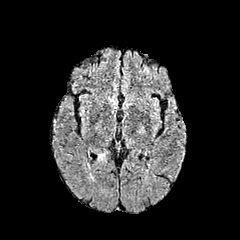
FLAIR MR image.
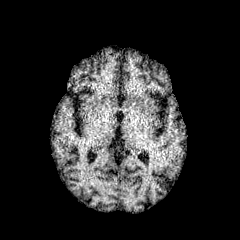
T1-weighted MRI of the same slice.
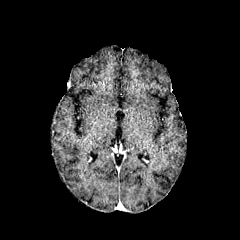
Same slice, post-contrast T1-weighted magnetic resonance.
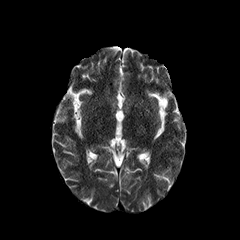
T2-weighted MR image.
Head
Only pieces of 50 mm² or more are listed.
Findings:
* peritumoral edema: rect(98, 153, 105, 161)